Brain
FLAIR MR.
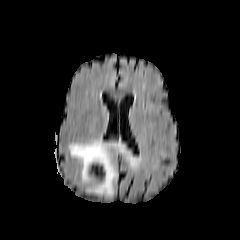
T1-weighted magnetic resonance.
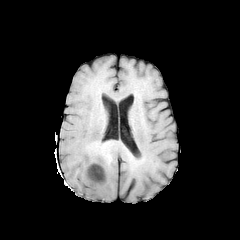
Post-contrast T1-weighted MRI.
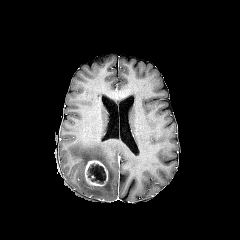
T2-weighted MR image.
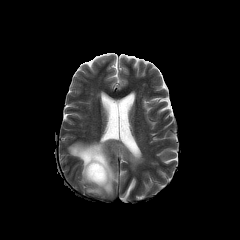
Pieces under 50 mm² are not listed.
necrotic tumor core — <bbox>88, 163, 105, 183</bbox>
peritumoral edema — <bbox>69, 139, 150, 196</bbox>
enhancing tumor — <bbox>84, 160, 108, 186</bbox>